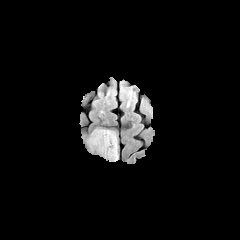
FLAIR MRI.
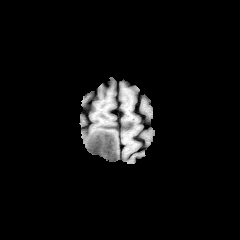
T1-weighted MR.
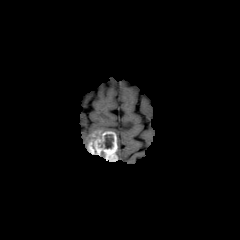
Post-contrast T1-weighted MRI.
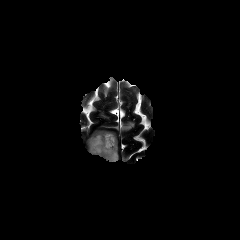
T2-weighted MR image of the same slice.
Brain. Axial slice.
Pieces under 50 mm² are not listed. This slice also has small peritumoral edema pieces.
The necrotic tumor core lies within rect(104, 134, 113, 148). The enhancing tumor lies within rect(88, 131, 117, 161).